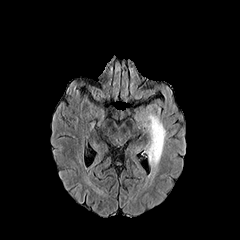
FLAIR MRI.
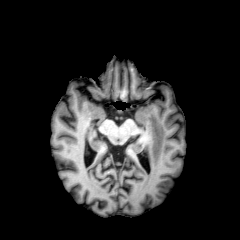
T1-weighted MR.
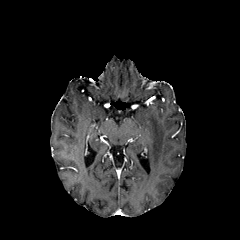
Post-contrast T1-weighted MR image.
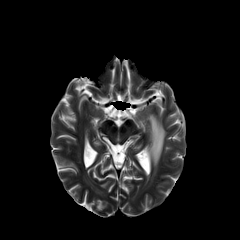
T2-weighted magnetic resonance.
Image size 240x240. Brain.
{
  "peritumoral_edema": [
    "bbox=[140, 112, 166, 185]"
  ]
}